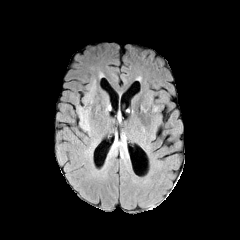
FLAIR MR image.
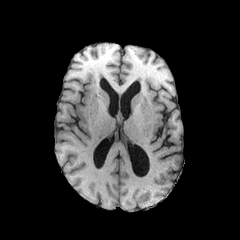
T1-weighted magnetic resonance of the same slice.
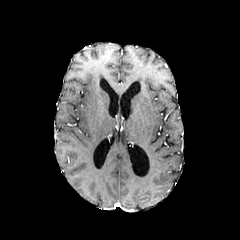
Post-contrast T1-weighted MR image.
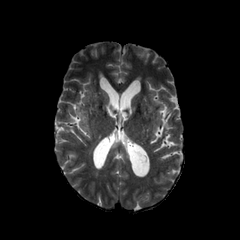
T2-weighted MR.
Head, Axial view
<segmentation>
  <peritumoral_edema>(79,110,89,130)</peritumoral_edema>
</segmentation>